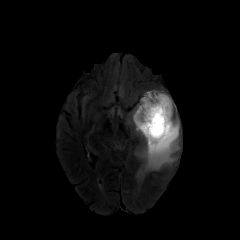
FLAIR MR image.
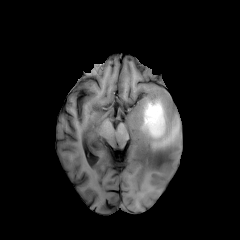
T1-weighted magnetic resonance.
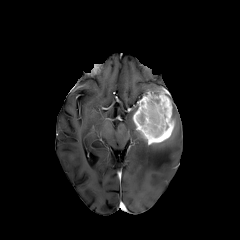
Same slice, post-contrast T1-weighted MRI.
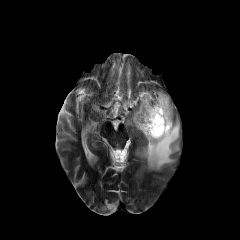
T2-weighted MRI of the same slice.
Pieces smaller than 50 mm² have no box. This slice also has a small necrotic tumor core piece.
enhancing_tumor:
  - region(133, 90, 174, 144)
peritumoral_edema:
  - region(127, 104, 141, 136)
  - region(139, 99, 180, 170)